Slice 91 of 155. Axial view. Brain.
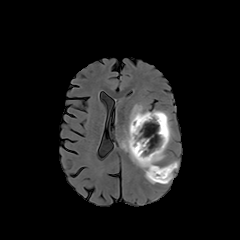
FLAIR MR.
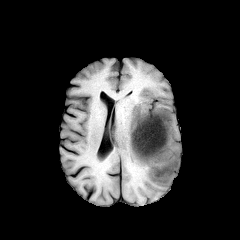
T1-weighted MR image.
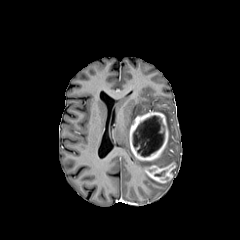
Post-contrast T1-weighted MR.
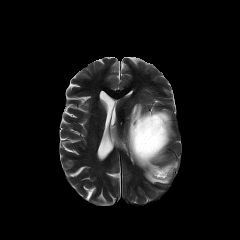
Same slice, T2-weighted magnetic resonance.
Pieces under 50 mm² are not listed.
The 3 largest peritumoral edema regions are bounded by rect(120, 104, 166, 183); rect(154, 109, 171, 148); rect(167, 160, 178, 177). 2 enhancing tumor regions appear at rect(129, 111, 168, 161); rect(146, 162, 176, 183). The largest necrotic tumor core region is located at rect(133, 116, 164, 156).